Image width 240 mm, 1.00 mm slice spacing
FLAIR MR.
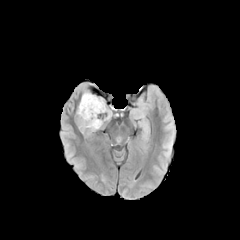
T1-weighted MRI.
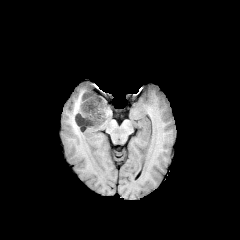
Post-contrast T1-weighted MR.
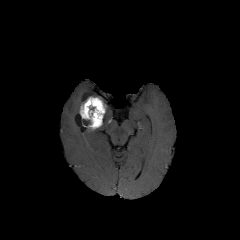
T2-weighted MR image.
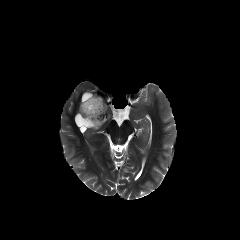
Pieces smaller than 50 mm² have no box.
necrotic tumor core = [x1=88, y1=105, x2=95, y2=117], [x1=83, y1=119, x2=91, y2=125]
peritumoral edema = [x1=85, y1=108, x2=113, y2=134]
enhancing tumor = [x1=79, y1=95, x2=108, y2=129]